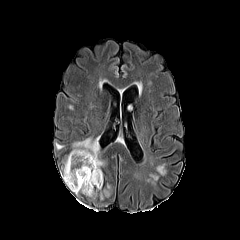
FLAIR MRI.
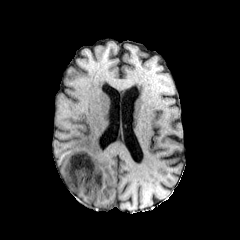
T1-weighted magnetic resonance.
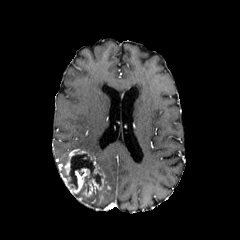
Post-contrast T1-weighted MR of the same slice.
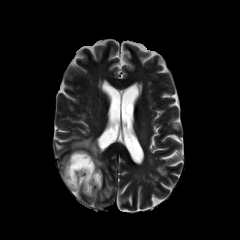
T2-weighted MR.
Brain. Axial plane.
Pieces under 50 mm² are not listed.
The largest necrotic tumor core region appears at x1=68, y1=153, x2=101, y2=191. The 2 largest peritumoral edema regions are located at x1=72, y1=137, x2=105, y2=171; x1=100, y1=190, x2=110, y2=198. The largest enhancing tumor region is bounded by x1=60, y1=149, x2=104, y2=196.